240x240 px | Slice index 73 | Head
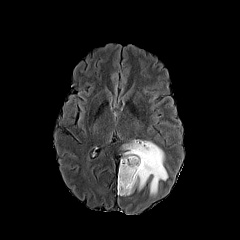
FLAIR MR.
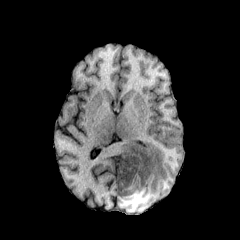
T1-weighted magnetic resonance.
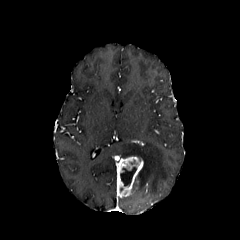
Same slice, post-contrast T1-weighted MR image.
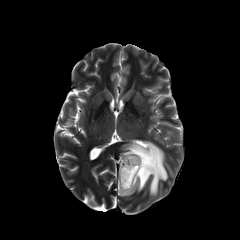
T2-weighted MR image of the same slice.
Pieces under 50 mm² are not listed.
The enhancing tumor is at x1=117 y1=156 x2=143 y2=197. The largest necrotic tumor core region is bounded by x1=120 y1=167 x2=136 y2=186. The peritumoral edema is at x1=122 y1=141 x2=167 y2=194.